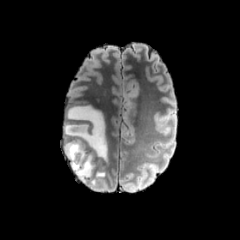
FLAIR MRI.
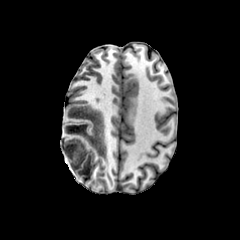
Same slice, T1-weighted MR image.
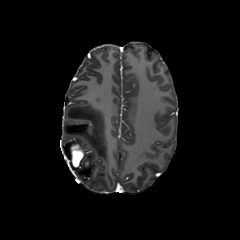
Post-contrast T1-weighted MRI.
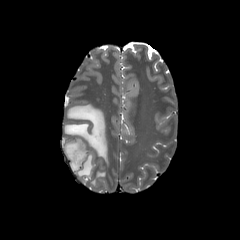
Same slice, T2-weighted MRI.
Axial plane
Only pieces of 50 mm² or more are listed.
enhancing_tumor:
  - [69,143,84,168]
peritumoral_edema:
  - [63,105,107,182]
  - [89,171,105,187]